240x240 px.
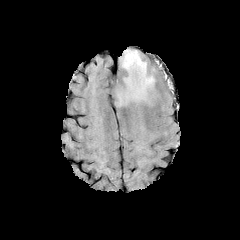
FLAIR MR.
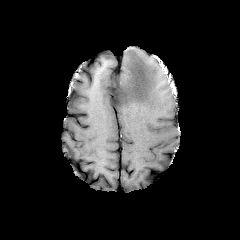
T1-weighted magnetic resonance of the same slice.
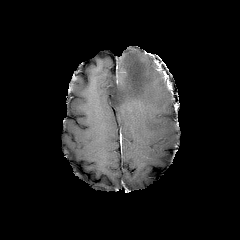
Post-contrast T1-weighted MR of the same slice.
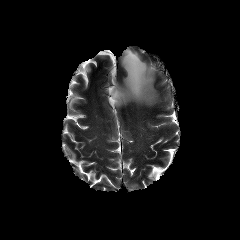
Same slice, T2-weighted MR.
peritumoral edema: bounding box l=114, t=49, r=155, b=105